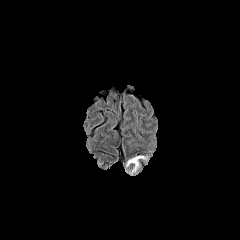
FLAIR MR image.
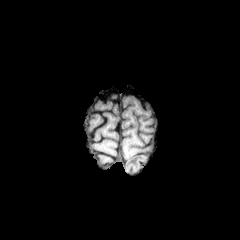
T1-weighted MR of the same slice.
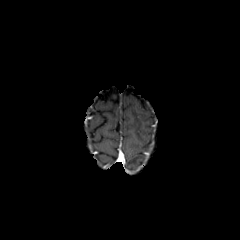
Post-contrast T1-weighted MR image.
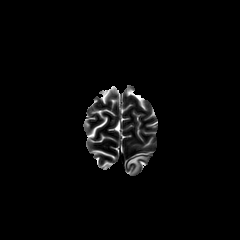
Same slice, T2-weighted MR.
Image size 240x240
peritumoral edema: x1=127, y1=155, x2=148, y2=172